Image covers 240 mm x 240 mm | Brain | Slice 123/155
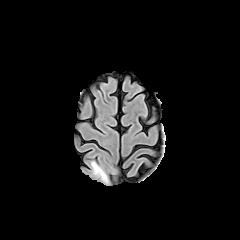
FLAIR magnetic resonance.
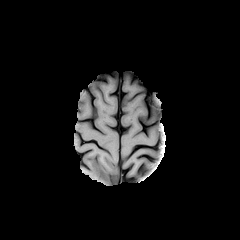
T1-weighted MR image.
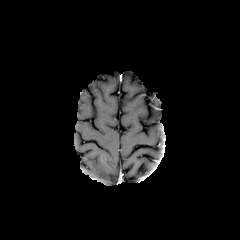
Same slice, post-contrast T1-weighted MR.
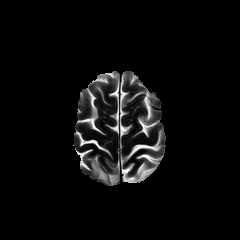
T2-weighted MRI.
peritumoral edema: <box>91,161,108,183</box>